Axial view
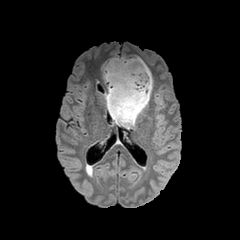
FLAIR MR.
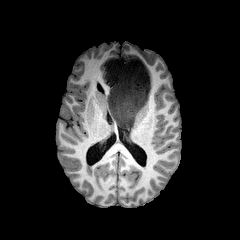
T1-weighted magnetic resonance of the same slice.
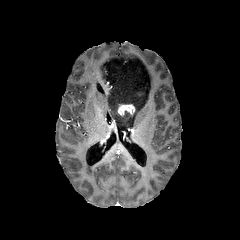
Post-contrast T1-weighted MRI.
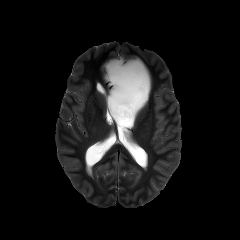
T2-weighted MR.
peritumoral edema — [103,57,152,127]
enhancing tumor — [117,104,135,115]